Slice 68/155.
FLAIR MR.
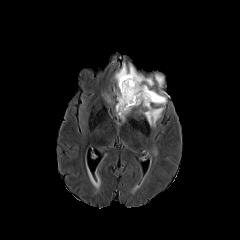
T1-weighted MR image.
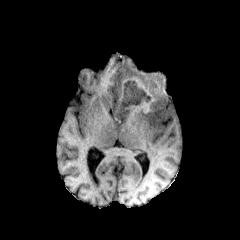
Post-contrast T1-weighted MRI.
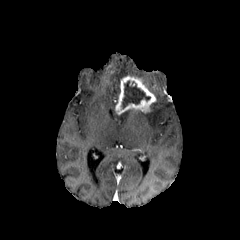
T2-weighted MRI.
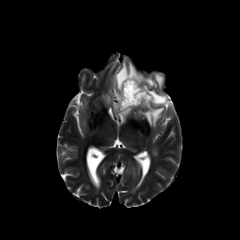
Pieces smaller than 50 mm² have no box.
{
  "peritumoral_edema": [
    "(155, 74, 163, 88)",
    "(116, 110, 130, 121)",
    "(114, 62, 166, 127)"
  ],
  "necrotic_tumor_core": [
    "(122, 81, 150, 108)"
  ],
  "enhancing_tumor": [
    "(115, 75, 156, 115)"
  ]
}